FLAIR MRI.
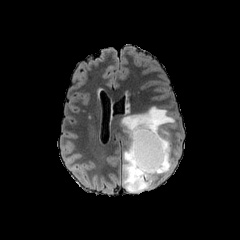
T1-weighted MR image.
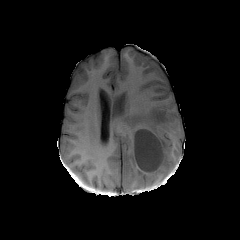
Post-contrast T1-weighted MR.
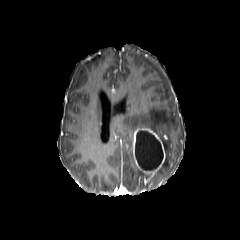
T2-weighted MR.
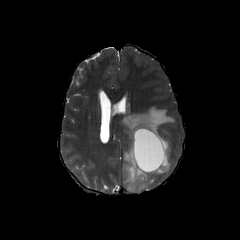
- peritumoral edema: (122, 106, 175, 192)
- enhancing tumor: (133, 128, 165, 174)
- necrotic tumor core: (135, 130, 163, 170)